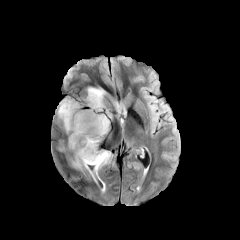
FLAIR magnetic resonance.
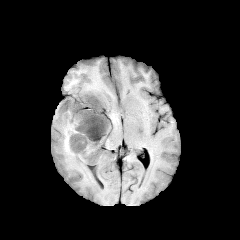
Same slice, T1-weighted MR.
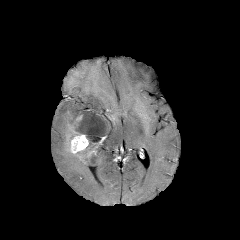
Post-contrast T1-weighted MR of the same slice.
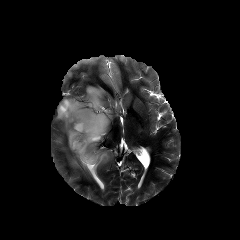
T2-weighted MRI.
Image size 240x240, Brain
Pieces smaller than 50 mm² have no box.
The enhancing tumor is at (left=70, top=132, right=88, bottom=153). The largest peritumoral edema region lies within (left=57, top=87, right=112, bottom=178).